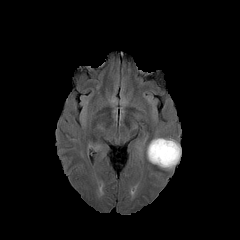
FLAIR MR.
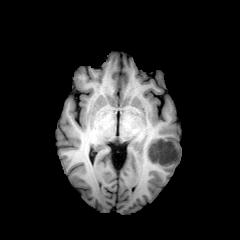
T1-weighted MR image.
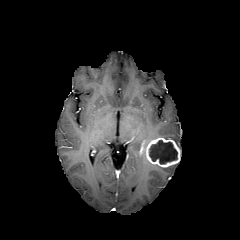
Post-contrast T1-weighted MRI.
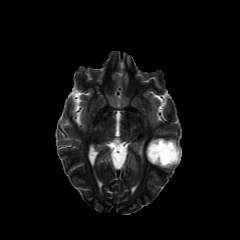
T2-weighted magnetic resonance of the same slice.
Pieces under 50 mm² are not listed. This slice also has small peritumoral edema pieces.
<segmentation>
  <enhancing_tumor><box>146,138,181,167</box></enhancing_tumor>
  <necrotic_tumor_core><box>149,140,177,164</box></necrotic_tumor_core>
</segmentation>